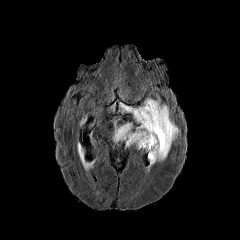
FLAIR MR.
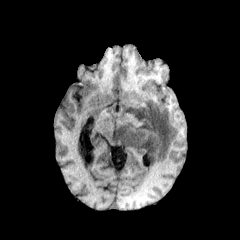
T1-weighted MRI.
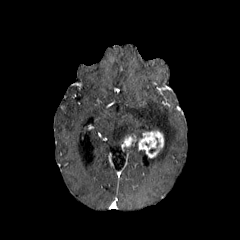
Same slice, post-contrast T1-weighted MR image.
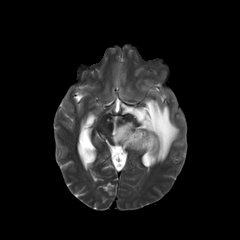
T2-weighted magnetic resonance of the same slice.
Axial slice
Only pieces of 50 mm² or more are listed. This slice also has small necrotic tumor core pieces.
2 peritumoral edema regions are located at (x1=126, y1=143, x2=145, y2=153), (x1=113, y1=98, x2=179, y2=167). The enhancing tumor is bounded by (x1=124, y1=130, x2=164, y2=158).